240x240 px; Slice index 79; Image width 240 mm; Brain
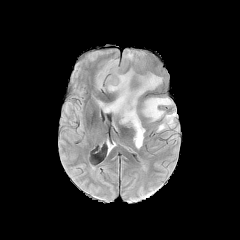
FLAIR magnetic resonance.
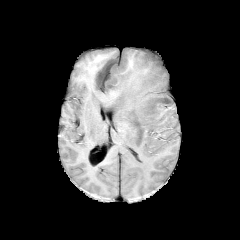
T1-weighted magnetic resonance.
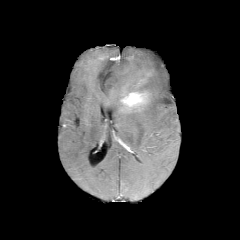
Post-contrast T1-weighted MR.
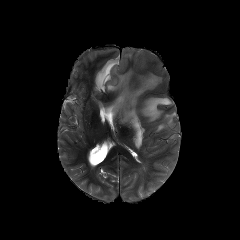
T2-weighted MR.
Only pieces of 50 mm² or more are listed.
enhancing tumor: [x1=120, y1=92, x2=148, y2=111]
peritumoral edema: [x1=96, y1=48, x2=169, y2=148], [x1=140, y1=97, x2=176, y2=131]